Image covers 240 mm x 240 mm | Brain
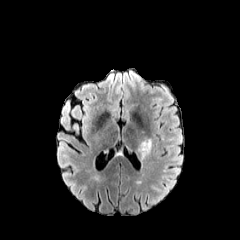
FLAIR MR.
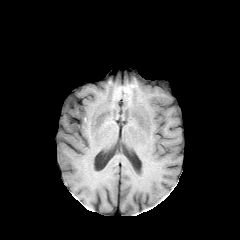
Same slice, T1-weighted MR image.
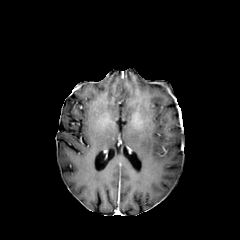
Post-contrast T1-weighted MRI.
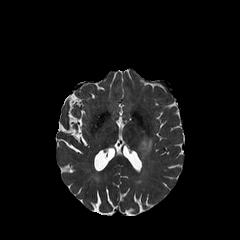
Same slice, T2-weighted MRI.
peritumoral edema — [x1=138, y1=139, x2=151, y2=159]